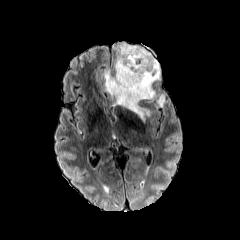
FLAIR MRI.
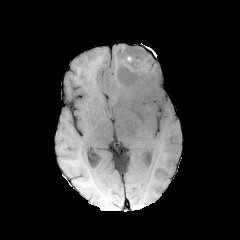
T1-weighted MR image.
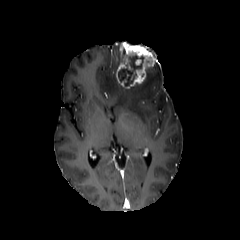
Post-contrast T1-weighted MR of the same slice.
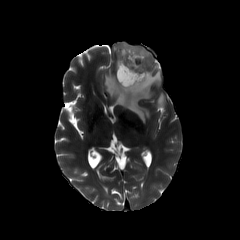
Same slice, T2-weighted MR.
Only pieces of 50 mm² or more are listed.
The largest enhancing tumor region is located at bbox(116, 42, 158, 88). The largest necrotic tumor core region appears at bbox(118, 55, 144, 85). The 2 largest peritumoral edema regions are located at bbox(157, 93, 164, 106); bbox(104, 44, 160, 120).